Axial plane; Head; Image width 240 mm; Slice 127/155
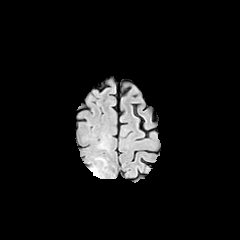
FLAIR MR image.
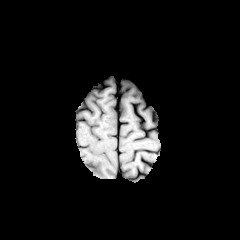
T1-weighted MR.
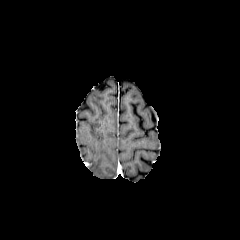
Post-contrast T1-weighted magnetic resonance.
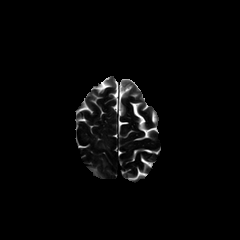
T2-weighted MRI of the same slice.
The peritumoral edema lies within (90, 168, 99, 176).